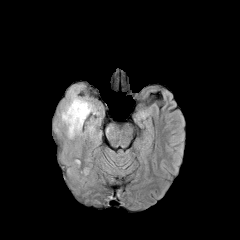
FLAIR magnetic resonance.
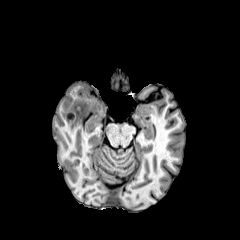
T1-weighted magnetic resonance of the same slice.
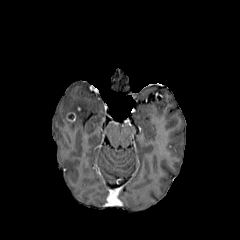
Same slice, post-contrast T1-weighted MRI.
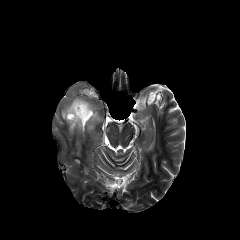
T2-weighted MR.
Head
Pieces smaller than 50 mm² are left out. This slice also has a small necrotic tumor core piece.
peritumoral edema: l=61, t=89, r=99, b=137; l=87, t=118, r=94, b=132
enhancing tumor: l=66, t=112, r=76, b=122